FLAIR MR.
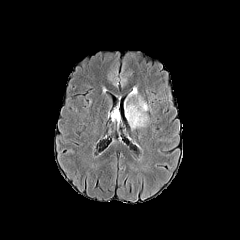
T1-weighted magnetic resonance.
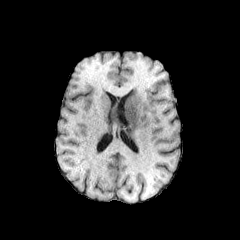
Post-contrast T1-weighted MR image.
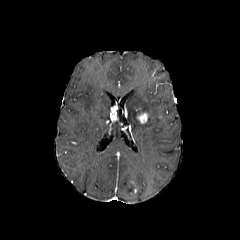
T2-weighted MR.
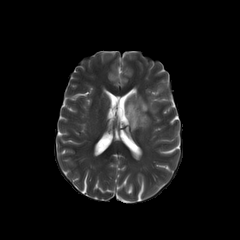
Axial slice
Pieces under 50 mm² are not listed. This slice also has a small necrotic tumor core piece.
The 2 largest enhancing tumor regions are located at left=109, top=105, right=118, bottom=121; left=136, top=112, right=148, bottom=124. The largest peritumoral edema region is located at left=127, top=97, right=147, bottom=128.